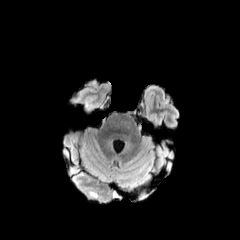
FLAIR MR.
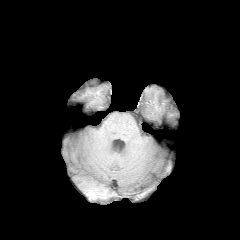
Same slice, T1-weighted MR.
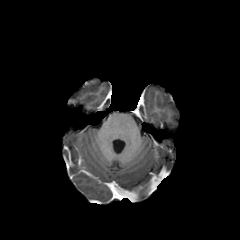
Post-contrast T1-weighted MR image.
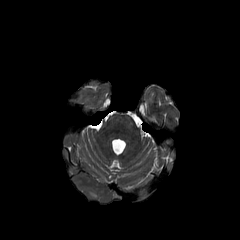
T2-weighted MR image of the same slice.
Brain
The peritumoral edema is bounded by rect(88, 190, 97, 198).